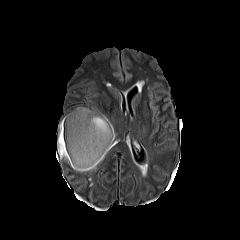
FLAIR MR.
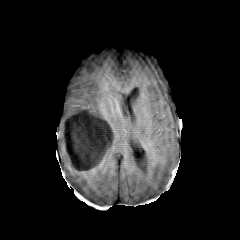
T1-weighted magnetic resonance.
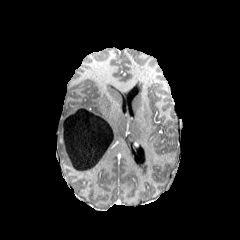
Post-contrast T1-weighted MRI.
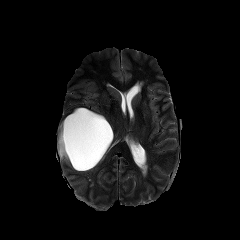
T2-weighted MR image.
Head.
Segmented structures:
- peritumoral edema: (x1=57, y1=107, x2=116, y2=172)
- necrotic tumor core: (x1=61, y1=108, x2=113, y2=169)